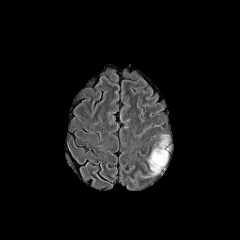
FLAIR MRI.
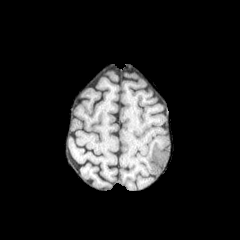
T1-weighted MRI of the same slice.
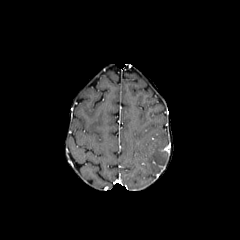
Post-contrast T1-weighted MRI.
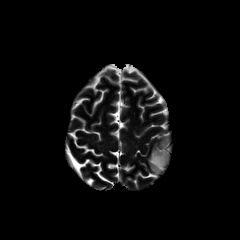
T2-weighted MR image.
Head | Axial slice
peritumoral edema: bounding box (148,135,168,174)